Slice 60/155. Head. 240x240 px. Image width 240 mm, 1.00 mm slice spacing.
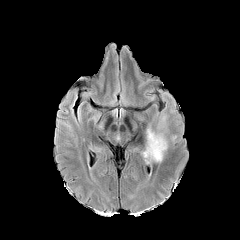
FLAIR MRI.
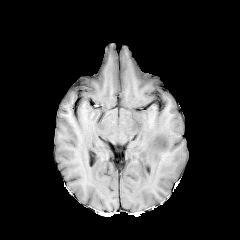
T1-weighted MR of the same slice.
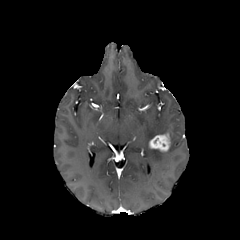
Same slice, post-contrast T1-weighted MR.
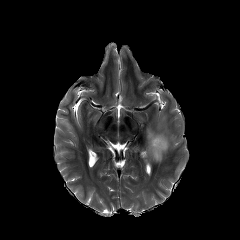
Same slice, T2-weighted MR image.
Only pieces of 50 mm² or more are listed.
peritumoral edema: box=[143, 116, 168, 163] | enhancing tumor: box=[149, 133, 170, 151]